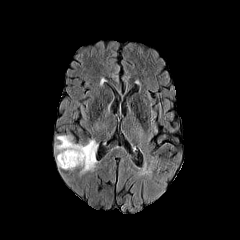
FLAIR MR.
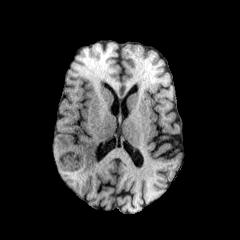
T1-weighted MR image of the same slice.
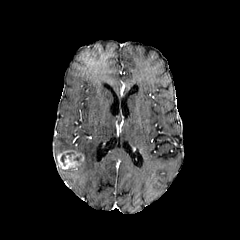
Same slice, post-contrast T1-weighted MRI.
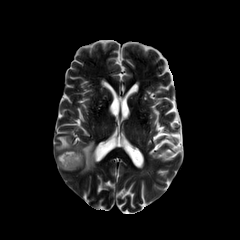
T2-weighted magnetic resonance of the same slice.
Brain | Axial view
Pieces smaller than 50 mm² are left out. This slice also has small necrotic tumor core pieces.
enhancing tumor = x1=57, y1=150, x2=84, y2=169
peritumoral edema = x1=56, y1=136, x2=96, y2=170